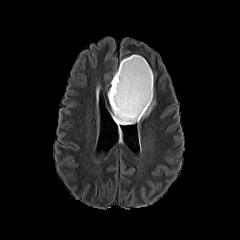
FLAIR MRI.
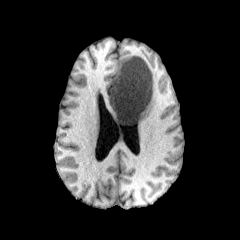
T1-weighted magnetic resonance.
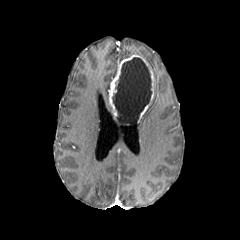
Post-contrast T1-weighted MR image.
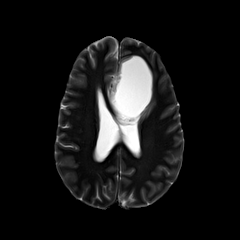
T2-weighted MRI of the same slice.
Brain.
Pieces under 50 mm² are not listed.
peritumoral_edema:
  - <box>142,98,155,118</box>
necrotic_tumor_core:
  - <box>112,57,152,124</box>
enhancing_tumor:
  - <box>108,55,153,121</box>